Brain.
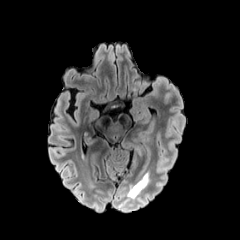
FLAIR MR image.
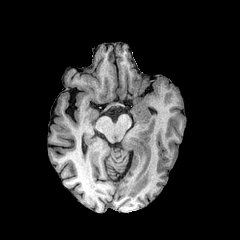
Same slice, T1-weighted MRI.
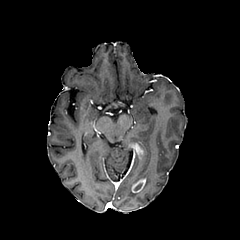
Same slice, post-contrast T1-weighted MR image.
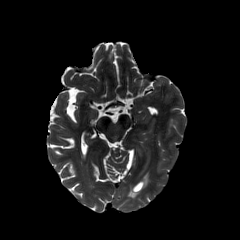
T2-weighted MR image of the same slice.
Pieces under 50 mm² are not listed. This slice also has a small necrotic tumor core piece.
enhancing tumor — (x1=132, y1=178, x2=145, y2=192), (x1=129, y1=142, x2=145, y2=156)
peritumoral edema — (x1=128, y1=185, x2=139, y2=198), (x1=141, y1=171, x2=149, y2=187)